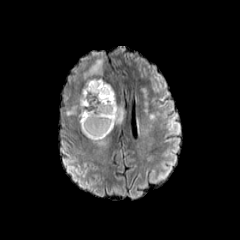
FLAIR magnetic resonance.
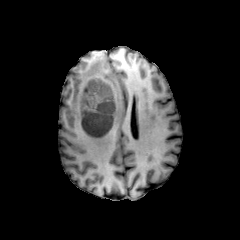
T1-weighted MR.
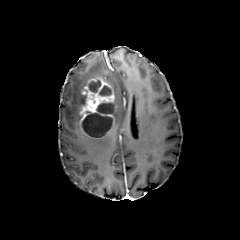
Same slice, post-contrast T1-weighted MR.
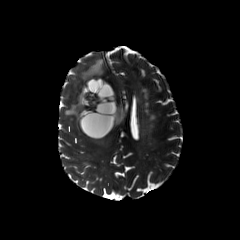
T2-weighted MRI.
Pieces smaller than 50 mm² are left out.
enhancing tumor — 79,77,116,138
necrotic tumor core — 89,80,100,92; 82,113,112,137; 96,103,113,113; 99,86,111,95
peritumoral edema — 65,58,104,128; 113,89,125,125